FLAIR magnetic resonance.
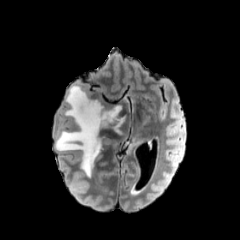
T1-weighted MR.
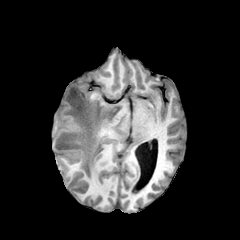
Post-contrast T1-weighted MRI.
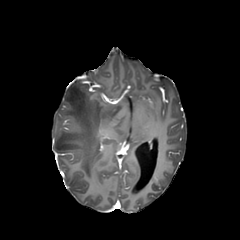
T2-weighted MR.
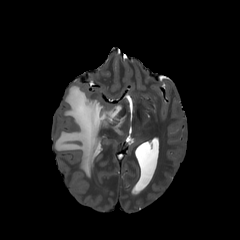
240x240 px.
The peritumoral edema lies within box(55, 84, 125, 177).